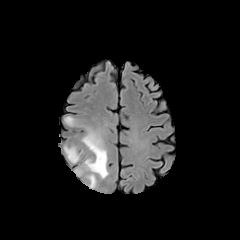
FLAIR MRI.
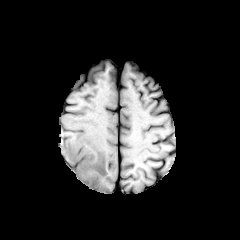
T1-weighted MR.
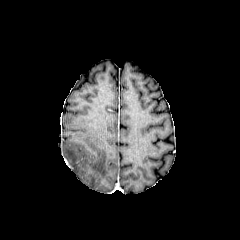
Post-contrast T1-weighted MR.
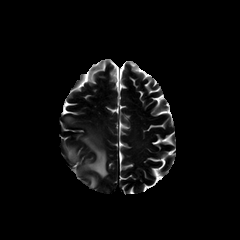
Same slice, T2-weighted magnetic resonance.
Axial view.
peritumoral_edema:
  - bbox=[86, 174, 97, 188]
  - bbox=[64, 145, 79, 163]
  - bbox=[64, 116, 74, 125]
  - bbox=[74, 130, 108, 178]